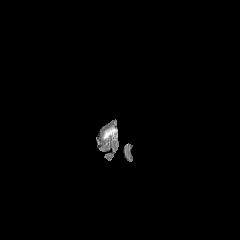
FLAIR MR image.
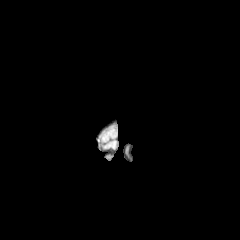
T1-weighted MR of the same slice.
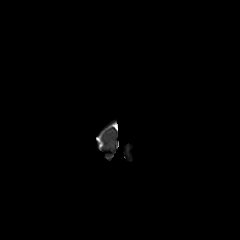
Same slice, post-contrast T1-weighted MR.
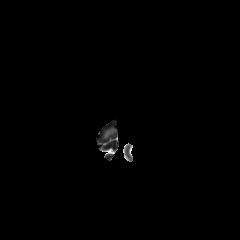
T2-weighted MR image.
240x240 | Brain
peritumoral edema — box(104, 128, 115, 137)